Brain | Axial plane
FLAIR magnetic resonance.
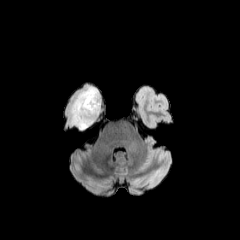
T1-weighted magnetic resonance.
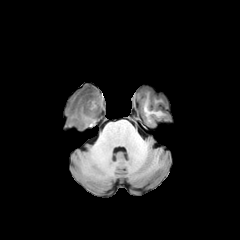
Post-contrast T1-weighted MRI.
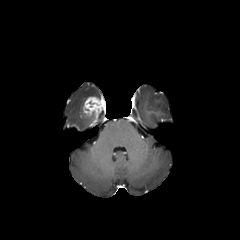
T2-weighted MR image.
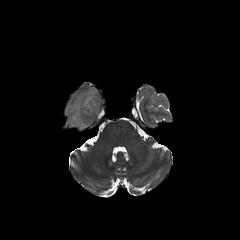
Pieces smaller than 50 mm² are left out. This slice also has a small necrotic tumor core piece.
Annotated regions:
* enhancing tumor: [83,96,102,121]
* peritumoral edema: [68,87,100,130]